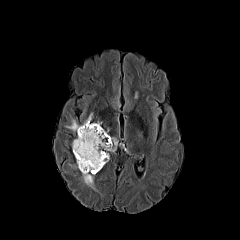
FLAIR MRI.
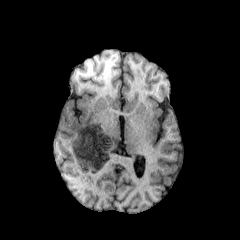
T1-weighted magnetic resonance.
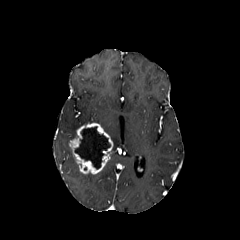
Same slice, post-contrast T1-weighted magnetic resonance.
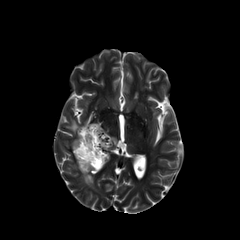
Same slice, T2-weighted magnetic resonance.
Head
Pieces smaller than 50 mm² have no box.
<segmentation>
  <peritumoral_edema>l=65, t=119, r=80, b=133; l=82, t=173, r=95, b=189; l=110, t=137, r=118, b=158</peritumoral_edema>
  <enhancing_tumor>l=69, t=123, r=113, b=174</enhancing_tumor>
  <necrotic_tumor_core>l=75, t=126, r=110, b=169</necrotic_tumor_core>
</segmentation>